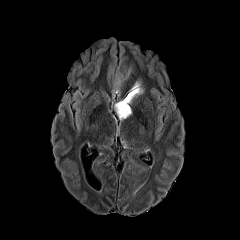
FLAIR MRI.
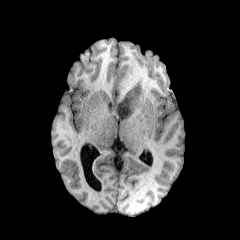
Same slice, T1-weighted magnetic resonance.
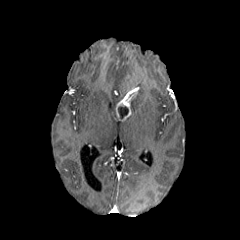
Post-contrast T1-weighted MRI.
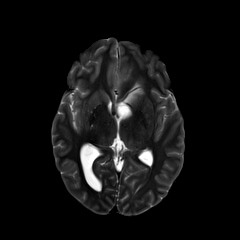
T2-weighted MR image.
Head, 240x240 px
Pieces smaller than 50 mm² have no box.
necrotic tumor core: {"x1": 118, "y1": 106, "x2": 128, "y2": 119}
enhancing tumor: {"x1": 115, "y1": 86, "x2": 139, "y2": 120}
peritumoral edema: {"x1": 132, "y1": 81, "x2": 143, "y2": 97}